Head. Axial plane. Image size 240x240.
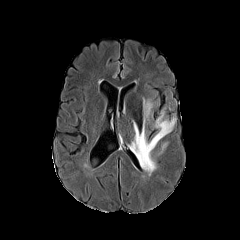
FLAIR MR image.
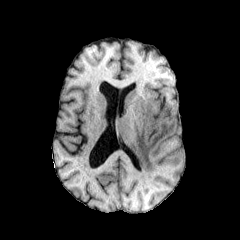
T1-weighted magnetic resonance of the same slice.
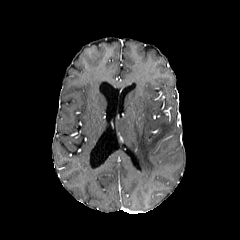
Post-contrast T1-weighted MRI of the same slice.
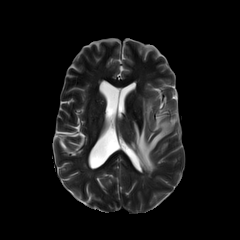
T2-weighted MR.
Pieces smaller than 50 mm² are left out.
Findings:
* peritumoral edema: {"x1": 129, "y1": 98, "x2": 176, "y2": 175}